Image width 240 mm | 240x240 | Slice 77/155
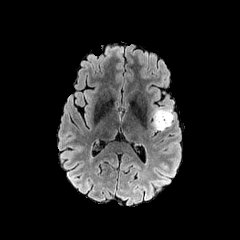
FLAIR MR image.
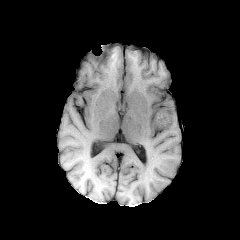
T1-weighted MR image.
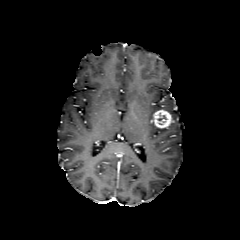
Same slice, post-contrast T1-weighted MR image.
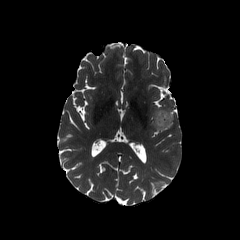
Same slice, T2-weighted MRI.
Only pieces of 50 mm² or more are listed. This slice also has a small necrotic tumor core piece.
enhancing_tumor:
  - l=153, t=110, r=172, b=128
peritumoral_edema:
  - l=153, t=108, r=174, b=120